240x240. Slice 79 of 155. Head.
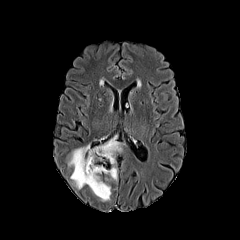
FLAIR MR.
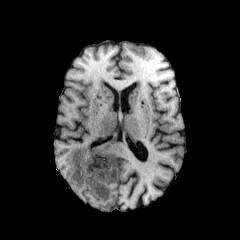
T1-weighted magnetic resonance.
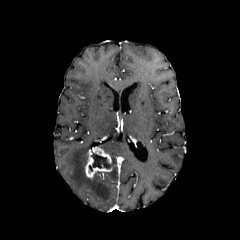
Post-contrast T1-weighted MR of the same slice.
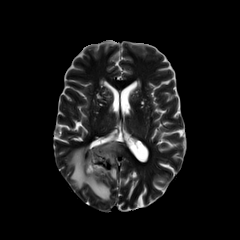
Same slice, T2-weighted MRI.
Annotated regions:
• necrotic tumor core: {"x1": 89, "y1": 153, "x2": 111, "y2": 171}
• peritumoral edema: {"x1": 68, "y1": 141, "x2": 111, "y2": 201}, {"x1": 98, "y1": 134, "x2": 122, "y2": 164}, {"x1": 97, "y1": 167, "x2": 117, "y2": 181}
• enhancing tumor: {"x1": 85, "y1": 146, "x2": 112, "y2": 178}